FLAIR magnetic resonance.
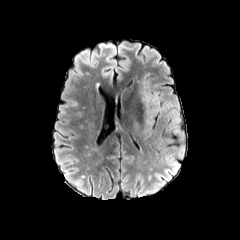
T1-weighted MR image.
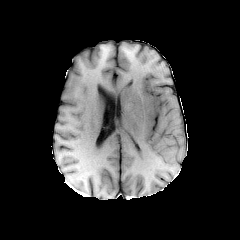
Post-contrast T1-weighted magnetic resonance.
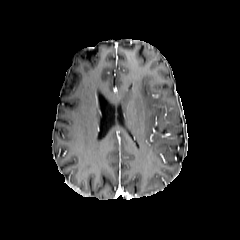
T2-weighted MR.
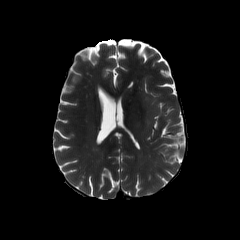
<segmentation>
  <peritumoral_edema>(left=140, top=80, right=159, bottom=135)</peritumoral_edema>
</segmentation>